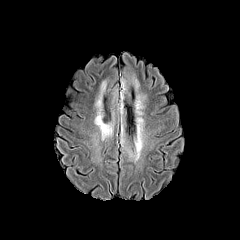
FLAIR MRI.
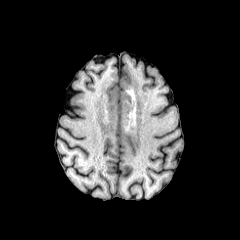
T1-weighted MR image.
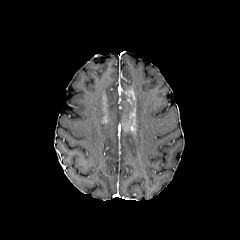
Same slice, post-contrast T1-weighted MRI.
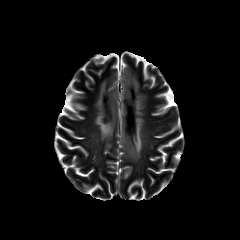
T2-weighted magnetic resonance.
Axial view
2 peritumoral edema regions are bounded by region(94, 72, 118, 140); region(120, 68, 145, 161).